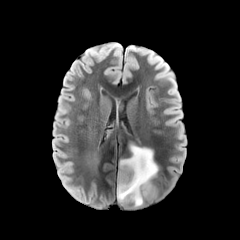
FLAIR magnetic resonance.
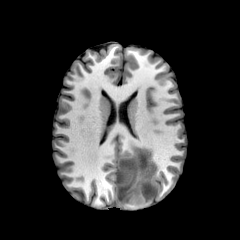
T1-weighted magnetic resonance.
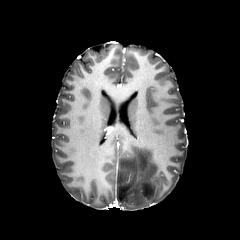
Post-contrast T1-weighted MRI.
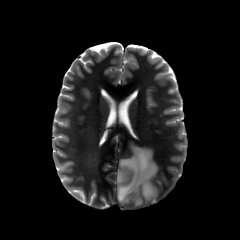
T2-weighted MRI of the same slice.
Axial plane | Head
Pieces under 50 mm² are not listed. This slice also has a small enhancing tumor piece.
The peritumoral edema is bounded by (117, 145, 158, 206). The necrotic tumor core is bounded by (120, 165, 132, 183).